Head.
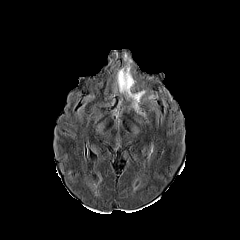
FLAIR magnetic resonance.
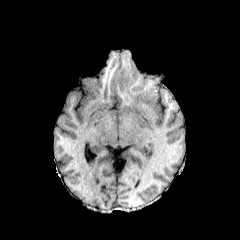
Same slice, T1-weighted MR image.
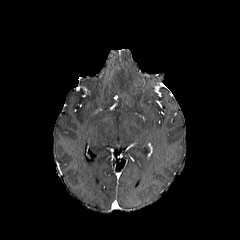
Post-contrast T1-weighted MR.
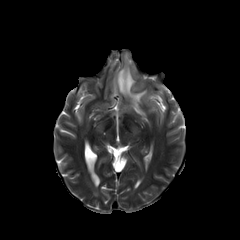
T2-weighted MR.
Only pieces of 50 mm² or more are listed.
peritumoral edema: bounding box box(117, 64, 144, 110)